Brain | Slice 44 of 155
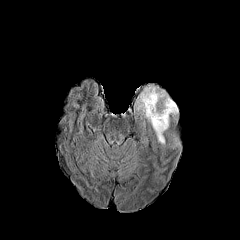
FLAIR magnetic resonance.
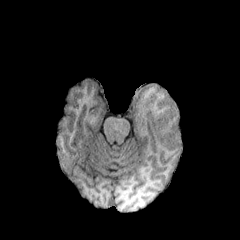
T1-weighted MR image.
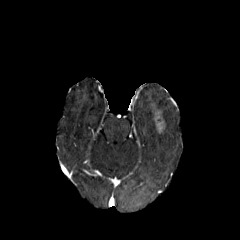
Post-contrast T1-weighted MR image of the same slice.
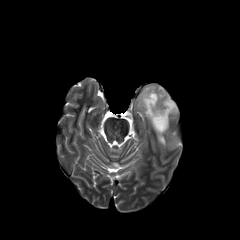
T2-weighted MR of the same slice.
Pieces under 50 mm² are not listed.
<segmentation>
  <peritumoral_edema><bbox>136, 85, 177, 145</bbox></peritumoral_edema>
  <enhancing_tumor><bbox>153, 108, 166, 133</bbox></enhancing_tumor>
</segmentation>